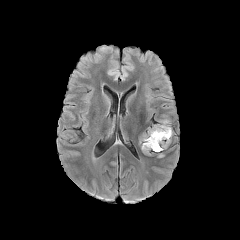
FLAIR magnetic resonance.
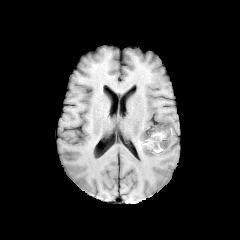
Same slice, T1-weighted MRI.
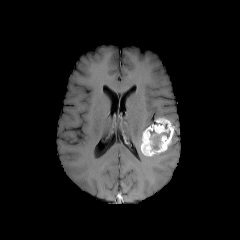
Same slice, post-contrast T1-weighted magnetic resonance.
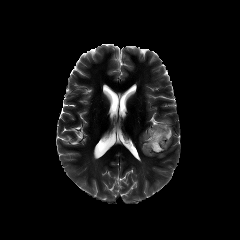
T2-weighted MR.
Axial view
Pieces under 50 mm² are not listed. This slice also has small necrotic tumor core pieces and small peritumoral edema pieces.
Findings:
- enhancing tumor: (141,117,173,156)